Image width 240 mm, 1.00 mm slice spacing
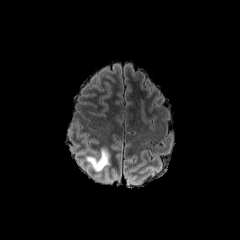
FLAIR MRI.
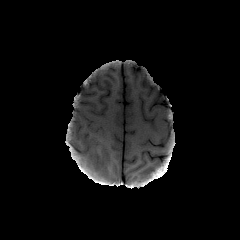
T1-weighted magnetic resonance of the same slice.
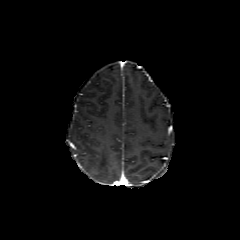
Post-contrast T1-weighted MRI of the same slice.
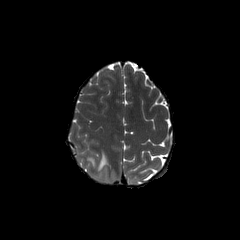
T2-weighted magnetic resonance.
peritumoral edema: bounding box <bbox>86, 148, 109, 171</bbox>